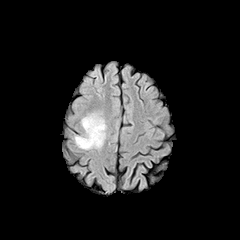
FLAIR MR.
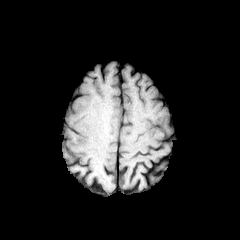
T1-weighted MR image.
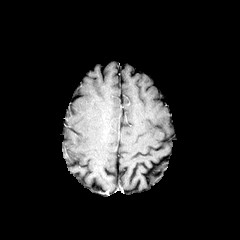
Post-contrast T1-weighted magnetic resonance.
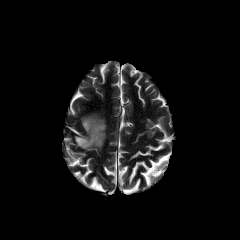
Same slice, T2-weighted MR.
Segmented structures:
- peritumoral edema: <box>75,114,105,149</box>